FLAIR MR.
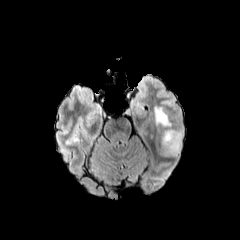
T1-weighted MRI.
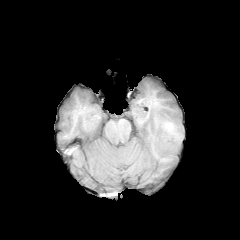
Post-contrast T1-weighted MR image.
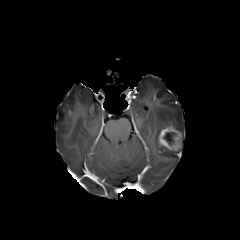
T2-weighted MR.
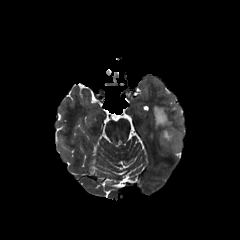
Axial view; Brain
necrotic_tumor_core:
  - (163,132,176,145)
enhancing_tumor:
  - (158,126,181,150)
peritumoral_edema:
  - (154,107,183,139)
  - (161,146,180,155)